Brain
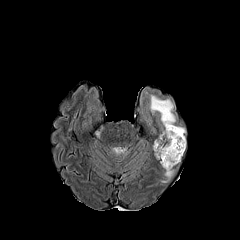
FLAIR magnetic resonance.
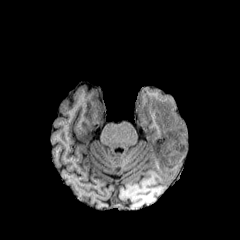
Same slice, T1-weighted MR.
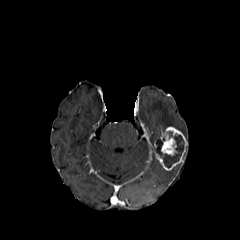
Post-contrast T1-weighted MRI of the same slice.
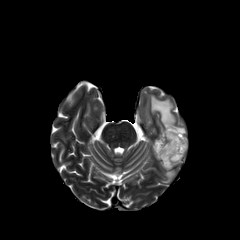
T2-weighted MR of the same slice.
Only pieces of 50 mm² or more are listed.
The 2 largest peritumoral edema regions are bounded by 162,169,175,182; 150,95,186,134. The largest enhancing tumor region is bounded by 155,127,186,170. The largest necrotic tumor core region appears at 154,135,184,167.